FLAIR MR image.
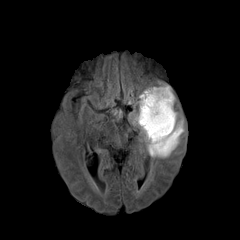
T1-weighted magnetic resonance.
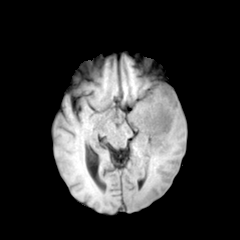
Post-contrast T1-weighted MR image.
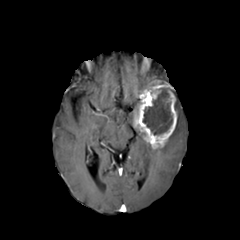
T2-weighted MR image.
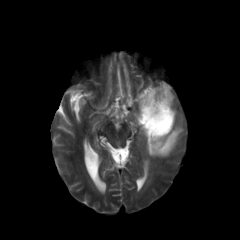
240x240 px
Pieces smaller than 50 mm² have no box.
peritumoral edema: bbox(145, 112, 184, 157)
necrotic tumor core: bbox(143, 88, 172, 135)
enhancing tumor: bbox(133, 82, 177, 149)